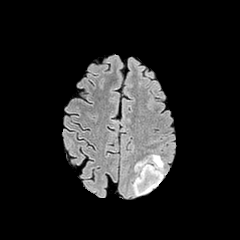
FLAIR MR.
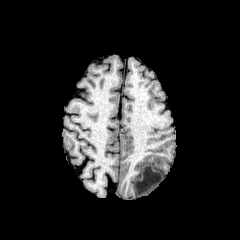
T1-weighted MR image of the same slice.
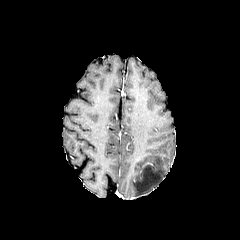
Post-contrast T1-weighted MRI of the same slice.
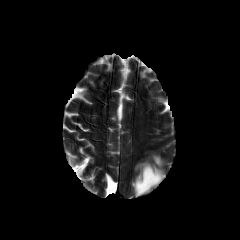
T2-weighted MR image of the same slice.
The peritumoral edema is located at l=133, t=154, r=164, b=195.